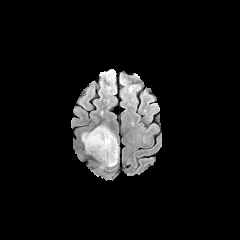
FLAIR MR.
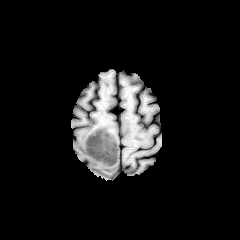
T1-weighted MRI.
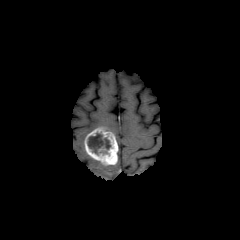
Same slice, post-contrast T1-weighted magnetic resonance.
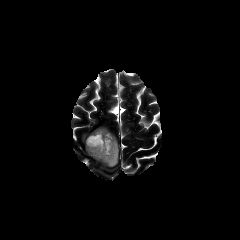
T2-weighted magnetic resonance.
Axial view
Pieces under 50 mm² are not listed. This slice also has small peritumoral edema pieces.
The necrotic tumor core is bounded by box=[87, 133, 110, 153]. The enhancing tumor is bounded by box=[84, 127, 118, 165].